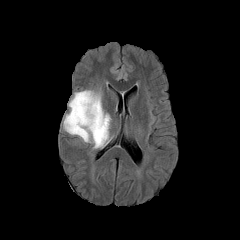
FLAIR MR image.
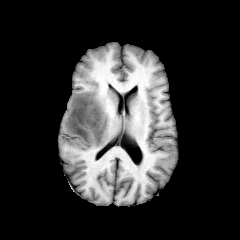
T1-weighted MR image of the same slice.
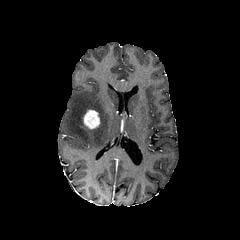
Same slice, post-contrast T1-weighted magnetic resonance.
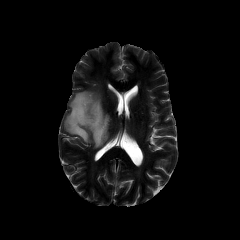
T2-weighted MR.
Image size 240x240.
enhancing_tumor:
  - 82,109,100,129
peritumoral_edema:
  - 63,90,110,148